Image covers 240 mm x 240 mm; Brain; Axial plane; Slice 81/155
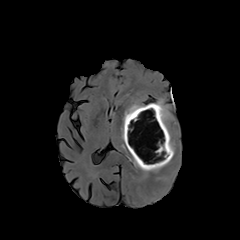
FLAIR MRI.
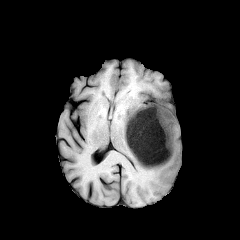
Same slice, T1-weighted magnetic resonance.
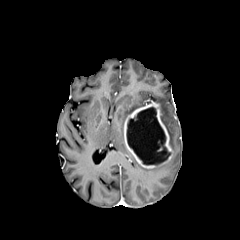
Post-contrast T1-weighted MR image.
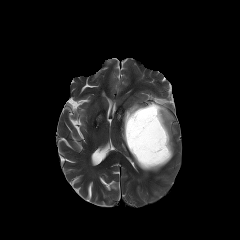
T2-weighted MR image.
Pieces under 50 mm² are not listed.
necrotic tumor core: left=127, top=107, right=170, bottom=164 | peritumoral edema: left=155, top=98, right=174, bottom=156; left=121, top=102, right=145, bottom=140; left=132, top=155, right=169, bottom=171 | enhancing tumor: left=124, top=103, right=173, bottom=168